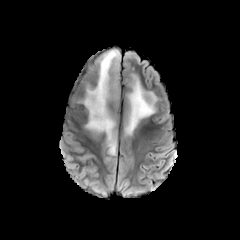
FLAIR MR.
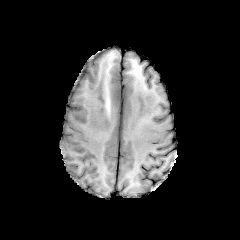
T1-weighted MRI of the same slice.
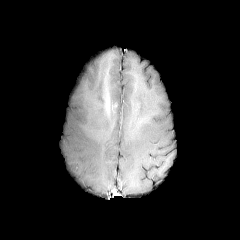
Post-contrast T1-weighted MRI.
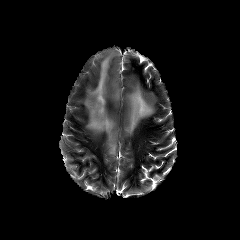
T2-weighted MRI.
Image size 240x240; Brain
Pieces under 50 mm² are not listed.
The 2 largest peritumoral edema regions are located at {"x1": 75, "y1": 49, "x2": 120, "y2": 156}, {"x1": 124, "y1": 72, "x2": 156, "y2": 136}.